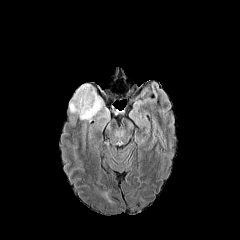
FLAIR MR.
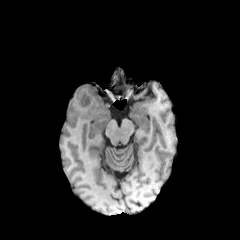
T1-weighted MR image.
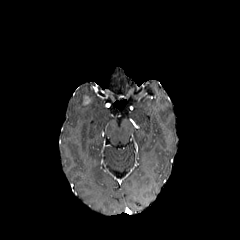
Post-contrast T1-weighted MR of the same slice.
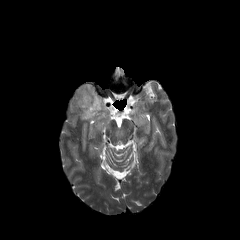
T2-weighted MR image of the same slice.
Axial view; Brain
Findings:
- peritumoral edema: box(66, 83, 110, 130)
- enhancing tumor: box(82, 95, 89, 105)